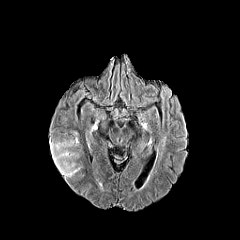
FLAIR MR image.
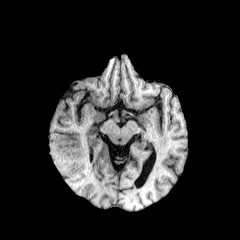
Same slice, T1-weighted MR image.
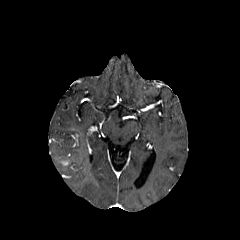
Post-contrast T1-weighted magnetic resonance of the same slice.
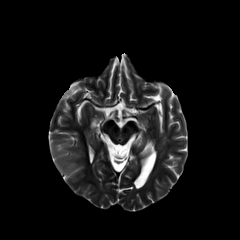
T2-weighted MR image.
Axial view, Head, 240x240 px
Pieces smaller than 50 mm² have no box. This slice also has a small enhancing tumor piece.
peritumoral edema — 50,140,79,177